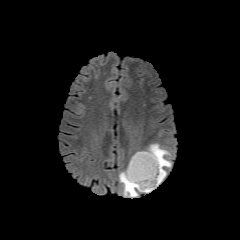
FLAIR magnetic resonance.
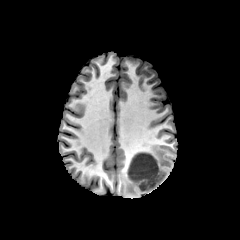
T1-weighted MRI.
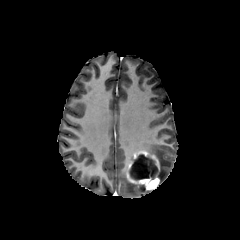
Post-contrast T1-weighted MR.
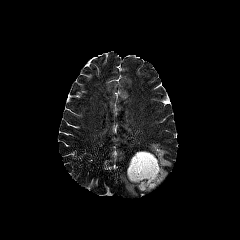
Same slice, T2-weighted MRI.
Axial plane.
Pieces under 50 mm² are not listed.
Segmented structures:
* necrotic tumor core: 129 154 158 179
* peritumoral edema: 143 143 171 183, 119 169 150 196
* enhancing tumor: 126 151 159 190